FLAIR MR image.
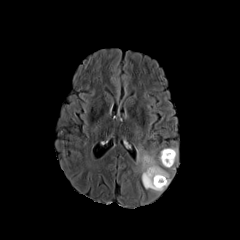
T1-weighted MR image.
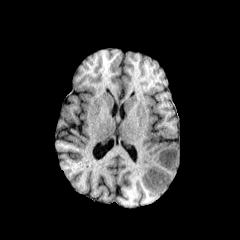
Post-contrast T1-weighted MRI.
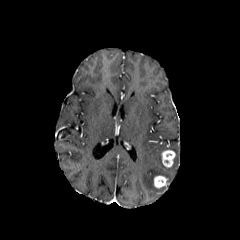
T2-weighted magnetic resonance.
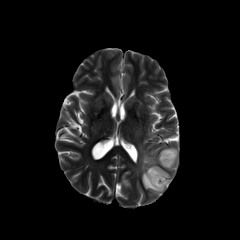
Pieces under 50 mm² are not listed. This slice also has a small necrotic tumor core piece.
{"enhancing_tumor": ["154,175,167,188", "161,150,175,167"], "peritumoral_edema": ["137,147,177,193"]}